Slice 120/155
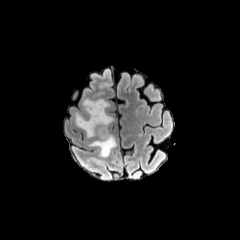
FLAIR MRI.
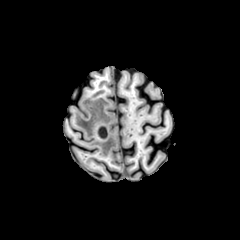
Same slice, T1-weighted MR image.
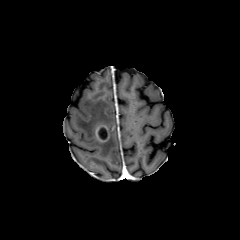
Same slice, post-contrast T1-weighted MR.
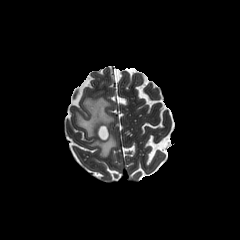
T2-weighted MR.
The necrotic tumor core lies within (left=98, top=127, right=107, bottom=139). The enhancing tumor is at (left=95, top=125, right=108, bottom=142). The peritumoral edema is at (left=75, top=98, right=116, bottom=157).